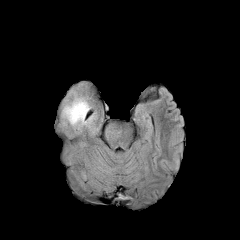
FLAIR MR.
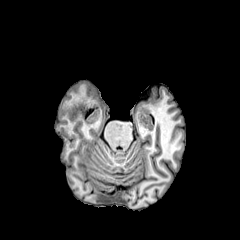
T1-weighted MR of the same slice.
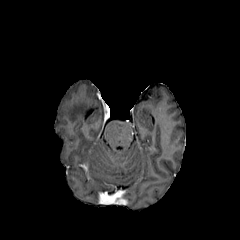
Post-contrast T1-weighted MRI of the same slice.
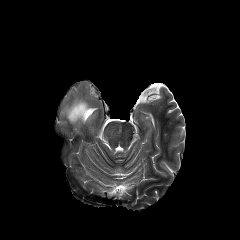
T2-weighted magnetic resonance of the same slice.
240x240 | Head
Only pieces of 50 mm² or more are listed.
Findings:
• peritumoral edema: <box>61,97,95,126</box>